FLAIR MRI.
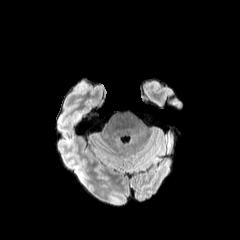
T1-weighted magnetic resonance.
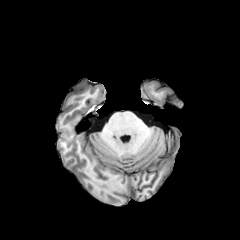
Post-contrast T1-weighted MR.
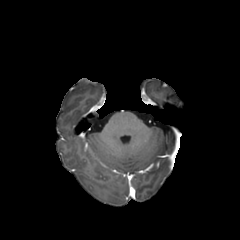
T2-weighted magnetic resonance.
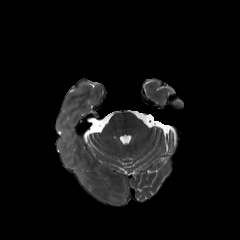
Brain.
The peritumoral edema lies within (75, 168, 83, 182).